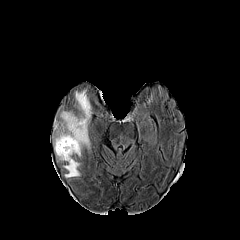
FLAIR magnetic resonance.
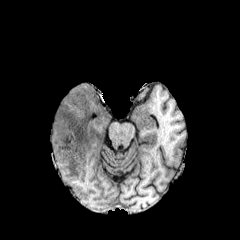
T1-weighted MR of the same slice.
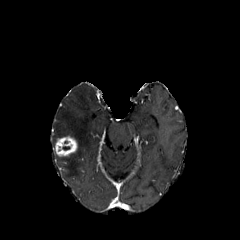
Post-contrast T1-weighted magnetic resonance of the same slice.
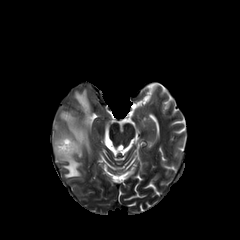
Same slice, T2-weighted magnetic resonance.
Head; 240x240 px
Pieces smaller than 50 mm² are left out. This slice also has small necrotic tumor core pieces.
<segmentation>
  <peritumoral_edema>x1=57, y1=89, x2=90, y2=177</peritumoral_edema>
  <enhancing_tumor>x1=54, y1=136, x2=77, y2=156</enhancing_tumor>
</segmentation>